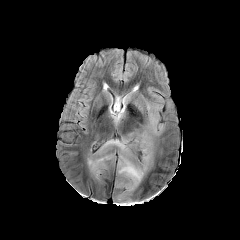
FLAIR magnetic resonance.
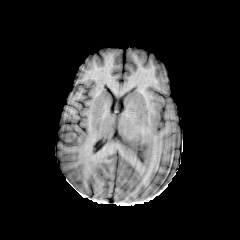
T1-weighted MR.
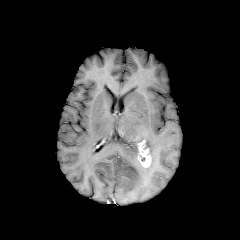
Same slice, post-contrast T1-weighted magnetic resonance.
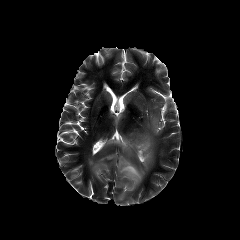
T2-weighted MR image.
240x240; Brain
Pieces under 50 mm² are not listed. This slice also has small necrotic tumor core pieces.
enhancing tumor: box(136, 139, 151, 167)
peritumoral edema: box(88, 155, 114, 173); box(101, 104, 163, 191)